Slice 64 of 155; Image width 240 mm
FLAIR MR image.
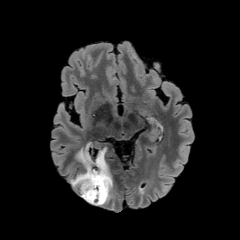
T1-weighted MR image.
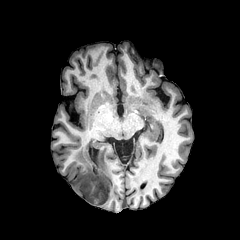
Post-contrast T1-weighted MR image.
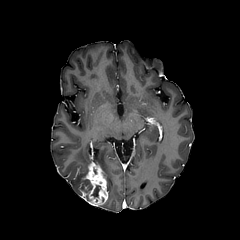
T2-weighted MRI.
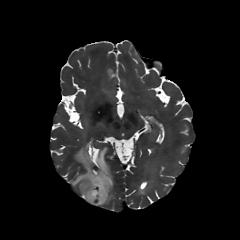
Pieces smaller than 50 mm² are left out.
peritumoral edema: l=69, t=144, r=114, b=206
necrotic tumor core: l=85, t=179, r=92, b=192; l=91, t=185, r=100, b=197
enhancing tumor: l=81, t=163, r=108, b=205